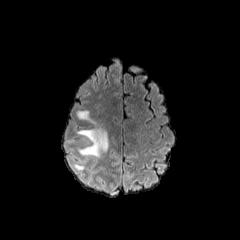
FLAIR MRI.
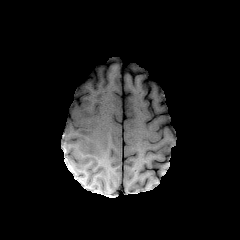
Same slice, T1-weighted MR.
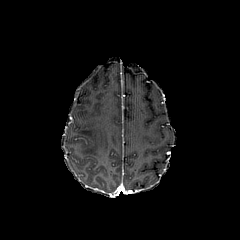
Same slice, post-contrast T1-weighted MR.
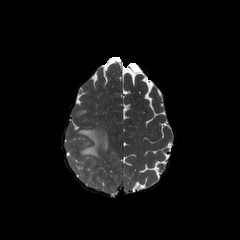
T2-weighted magnetic resonance of the same slice.
Axial slice
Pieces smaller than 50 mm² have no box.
* peritumoral edema: <box>77,110,96,124</box>, <box>77,126,107,157</box>